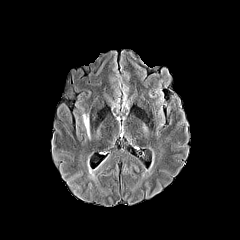
FLAIR magnetic resonance.
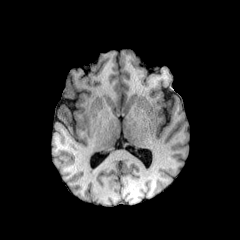
T1-weighted MR of the same slice.
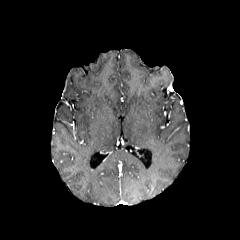
Same slice, post-contrast T1-weighted magnetic resonance.
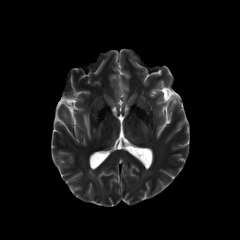
Same slice, T2-weighted MRI.
Head | 240x240 px
The peritumoral edema is bounded by {"x1": 83, "y1": 114, "x2": 90, "y2": 138}.